Axial view
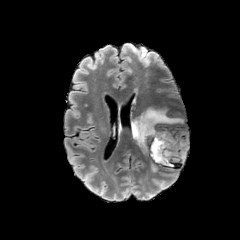
FLAIR MRI.
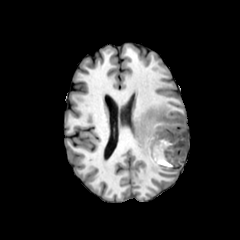
T1-weighted MR of the same slice.
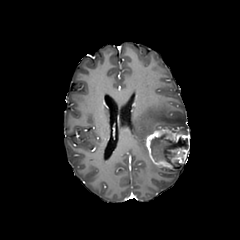
Post-contrast T1-weighted magnetic resonance.
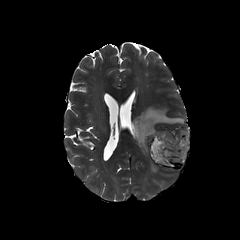
T2-weighted magnetic resonance.
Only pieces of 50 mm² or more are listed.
{
  "necrotic_tumor_core": [
    "<box>150,134,187,165</box>"
  ],
  "peritumoral_edema": [
    "<box>130,105,187,155</box>"
  ],
  "enhancing_tumor": [
    "<box>146,126,189,168</box>"
  ]
}